FLAIR MRI.
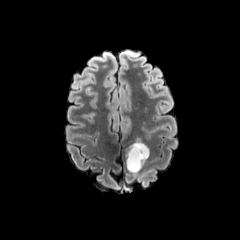
T1-weighted MR image.
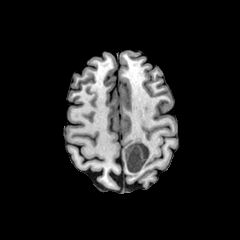
Post-contrast T1-weighted MR.
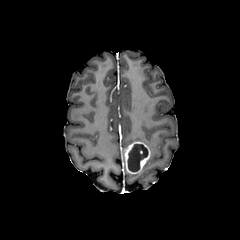
T2-weighted MR image.
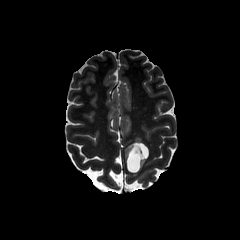
Brain
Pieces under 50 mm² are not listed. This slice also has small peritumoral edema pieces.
necrotic tumor core: (left=128, top=144, right=148, bottom=171) | enhancing tumor: (left=124, top=141, right=150, bottom=173)